Slice index 68 | Image covers 240 mm x 240 mm
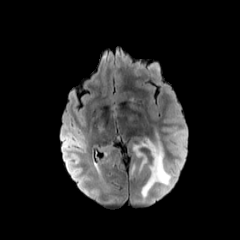
FLAIR MR image.
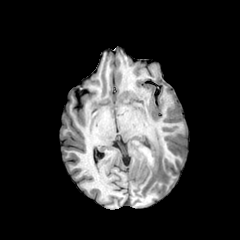
T1-weighted MR image.
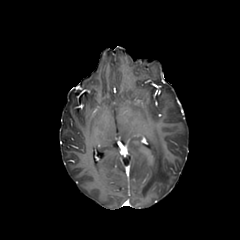
Same slice, post-contrast T1-weighted MR image.
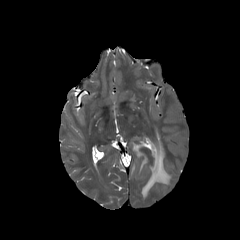
T2-weighted MR image.
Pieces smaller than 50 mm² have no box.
peritumoral edema at 140,157,147,170; 133,142,144,157; 141,133,171,197